Axial view | Brain | 240x240
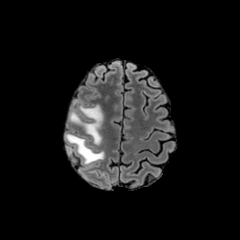
FLAIR magnetic resonance.
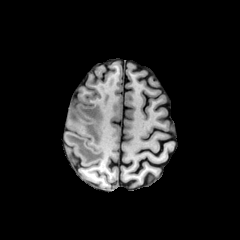
Same slice, T1-weighted MR.
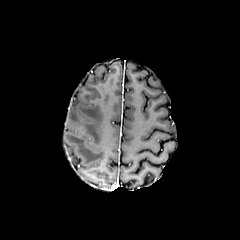
Post-contrast T1-weighted magnetic resonance.
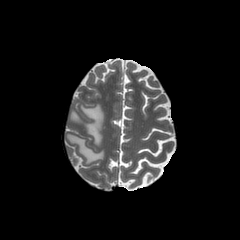
T2-weighted MRI.
<segmentation>
  <peritumoral_edema>65 133 104 164, 69 105 103 144</peritumoral_edema>
</segmentation>